FLAIR magnetic resonance.
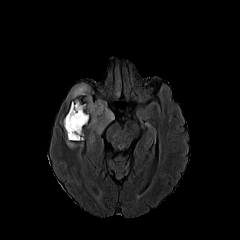
T1-weighted magnetic resonance.
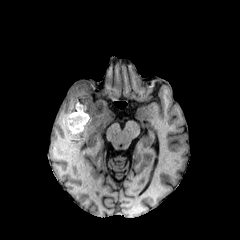
Post-contrast T1-weighted MR.
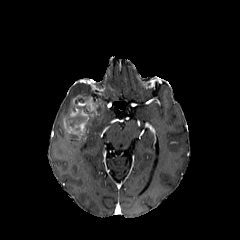
T2-weighted magnetic resonance.
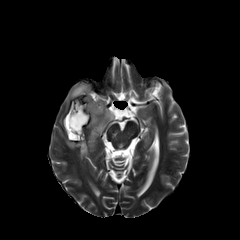
Axial plane; Brain
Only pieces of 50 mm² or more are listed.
The largest enhancing tumor region lies within bbox=[63, 95, 103, 140]. The 3 largest peritumoral edema regions are located at bbox=[88, 100, 114, 133]; bbox=[64, 128, 84, 148]; bbox=[66, 83, 90, 111]. The largest necrotic tumor core region lies within bbox=[66, 106, 89, 127].